Brain, Axial slice, Image covers 240 mm x 240 mm, Image size 240x240
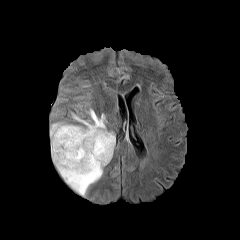
FLAIR magnetic resonance.
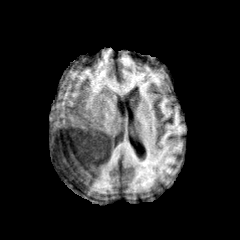
T1-weighted MRI.
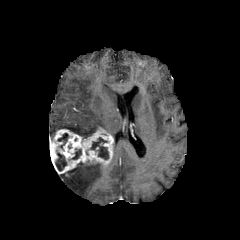
Post-contrast T1-weighted MRI of the same slice.
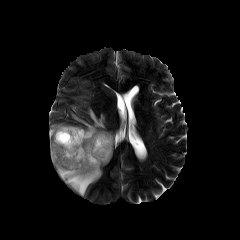
T2-weighted MR image.
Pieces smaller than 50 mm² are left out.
The 2 largest peritumoral edema regions are bounded by [x1=60, y1=162, x2=104, y2=196], [x1=50, y1=108, x2=114, y2=139]. The largest enhancing tumor region is bounded by [x1=50, y1=128, x2=114, y2=173]. The 4 largest necrotic tumor core regions are located at [x1=72, y1=149, x2=81, y2=159], [x1=91, y1=137, x2=108, y2=159], [x1=55, y1=153, x2=66, y2=170], [x1=58, y1=133, x2=68, y2=148].